FLAIR MRI.
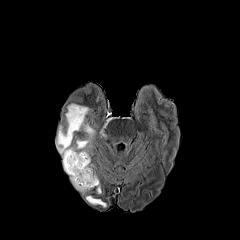
T1-weighted MR image.
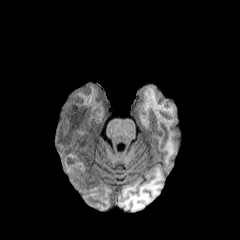
Post-contrast T1-weighted MR image.
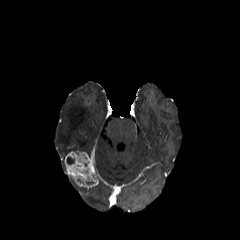
T2-weighted MR image.
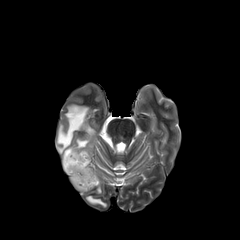
Head.
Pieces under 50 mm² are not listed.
<segmentation>
  <peritumoral_edema>box(71, 178, 86, 191); box(56, 104, 95, 169); box(86, 196, 106, 206)</peritumoral_edema>
  <necrotic_tumor_core>box(67, 157, 74, 164)</necrotic_tumor_core>
  <enhancing_tumor>box(64, 151, 98, 188)</enhancing_tumor>
</segmentation>